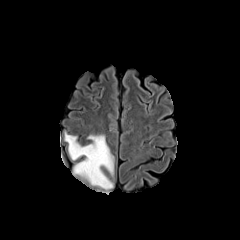
FLAIR MR.
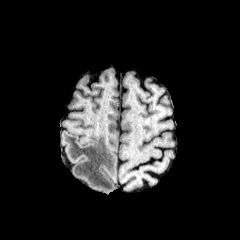
Same slice, T1-weighted magnetic resonance.
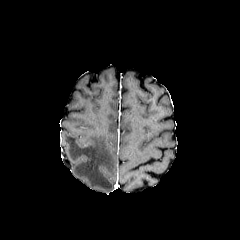
Post-contrast T1-weighted MR image.
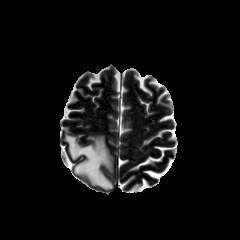
T2-weighted MR image.
Axial view
Findings:
* peritumoral edema: [x1=64, y1=133, x2=113, y2=190]